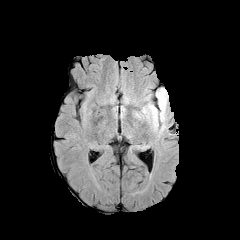
FLAIR MR.
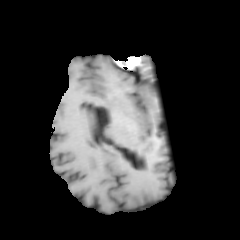
T1-weighted magnetic resonance.
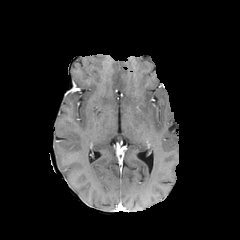
Post-contrast T1-weighted MR image.
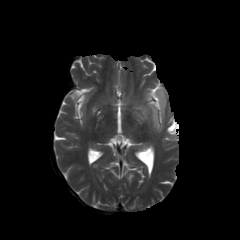
Same slice, T2-weighted MR.
The peritumoral edema lies within [133,88,164,131].